Slice index 83. Image width 240 mm.
FLAIR MRI.
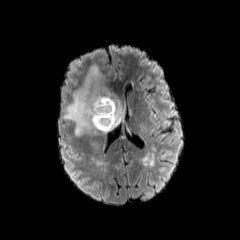
T1-weighted magnetic resonance.
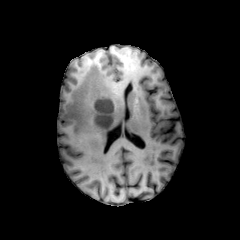
Post-contrast T1-weighted magnetic resonance.
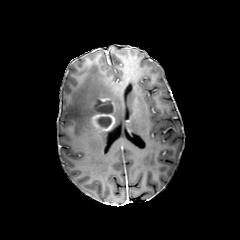
T2-weighted magnetic resonance.
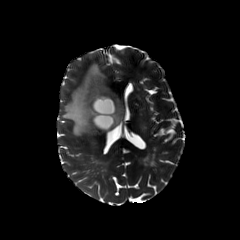
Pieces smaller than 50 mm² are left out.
<segmentation>
  <peritumoral_edema>(left=63, top=64, right=123, bottom=135)</peritumoral_edema>
  <necrotic_tumor_core>(left=94, top=100, right=112, bottom=113), (left=98, top=117, right=111, bottom=127)</necrotic_tumor_core>
  <enhancing_tumor>(left=91, top=95, right=115, bottom=131)</enhancing_tumor>
</segmentation>